FLAIR magnetic resonance.
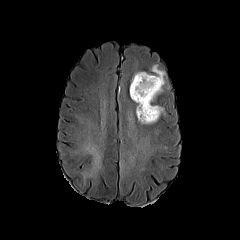
T1-weighted MRI.
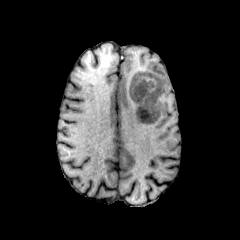
Post-contrast T1-weighted MRI.
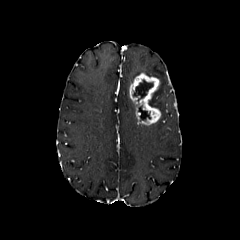
T2-weighted MR image.
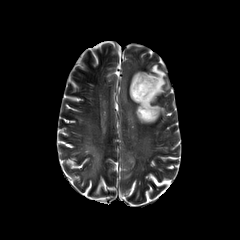
240x240 px. Brain.
The peritumoral edema lies within box=[131, 64, 165, 114]. 2 necrotic tumor core regions are located at box=[133, 80, 153, 101]; box=[138, 106, 150, 120]. The enhancing tumor is located at box=[129, 73, 161, 125].